FLAIR magnetic resonance.
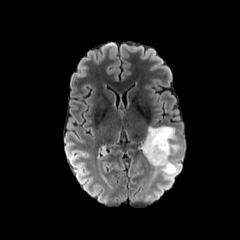
T1-weighted MRI.
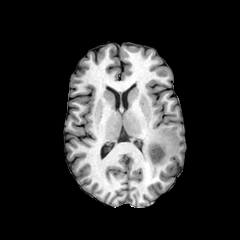
Post-contrast T1-weighted magnetic resonance.
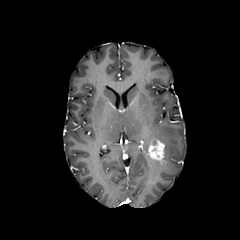
T2-weighted MR image.
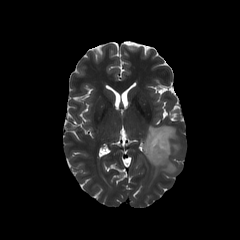
Axial view | 240x240 | Brain
{"enhancing_tumor": ["<bbox>147, 139, 164, 163</bbox>"], "peritumoral_edema": ["<bbox>143, 126, 179, 178</bbox>"]}